FLAIR MR.
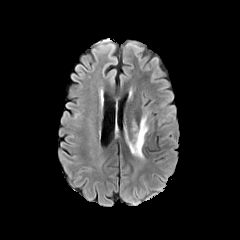
T1-weighted MR.
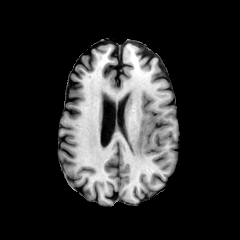
Post-contrast T1-weighted MR image.
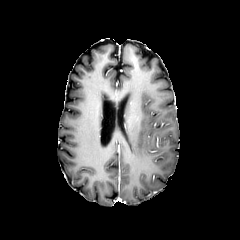
T2-weighted magnetic resonance.
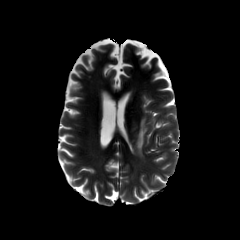
Brain | Axial view
<segmentation>
  <peritumoral_edema>(128, 116, 147, 159)</peritumoral_edema>
</segmentation>